Brain, Slice 47 of 155
FLAIR MR.
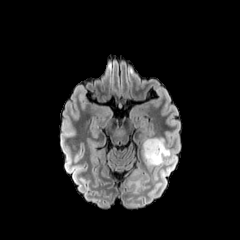
T1-weighted MR image.
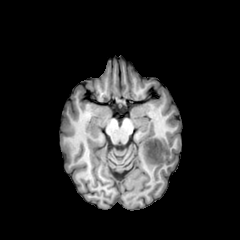
Post-contrast T1-weighted magnetic resonance.
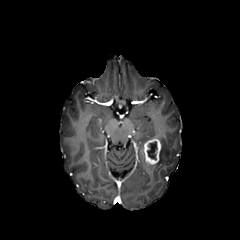
T2-weighted MR image.
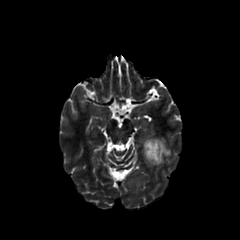
peritumoral edema: bounding box 127:180:139:193, 142:137:170:166
necrotic tumor core: bounding box 147:141:157:159
enhancing tumor: bounding box 143:138:161:164